Image width 240 mm. Image size 240x240. Head.
FLAIR MR.
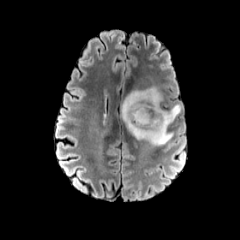
T1-weighted MRI.
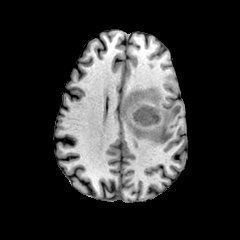
Post-contrast T1-weighted magnetic resonance.
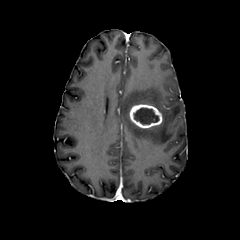
T2-weighted MR image.
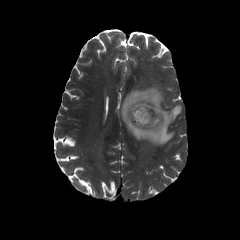
Findings:
- necrotic tumor core: rect(134, 107, 159, 124)
- peritumoral edema: rect(121, 86, 181, 145)
- enhancing tumor: rect(129, 104, 162, 128)